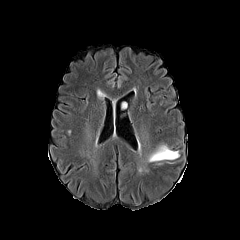
FLAIR MRI.
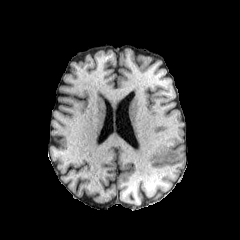
Same slice, T1-weighted MRI.
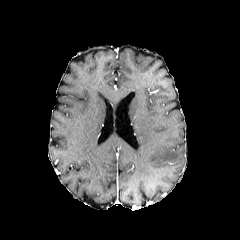
Post-contrast T1-weighted MRI.
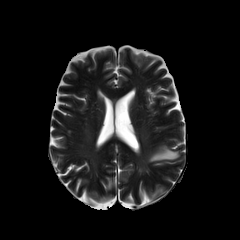
Same slice, T2-weighted MRI.
Image size 240x240
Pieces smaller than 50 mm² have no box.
Findings:
- peritumoral edema: <box>147,144,179,162</box>